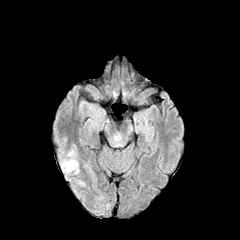
FLAIR MRI.
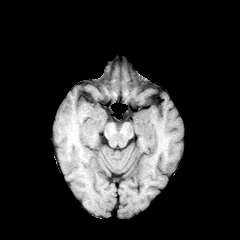
T1-weighted magnetic resonance.
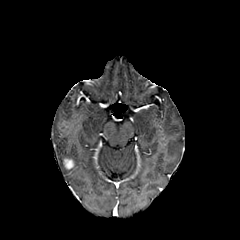
Post-contrast T1-weighted MR.
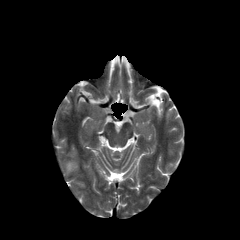
Same slice, T2-weighted MRI.
Brain
Annotated regions:
* peritumoral edema: rect(60, 149, 79, 174)
* enhancing tumor: rect(64, 159, 74, 169)